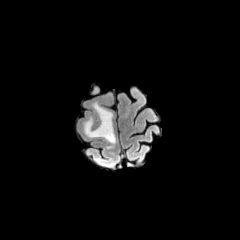
FLAIR magnetic resonance.
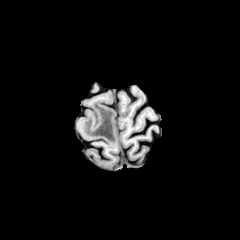
T1-weighted magnetic resonance of the same slice.
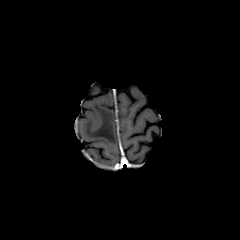
Post-contrast T1-weighted MRI.
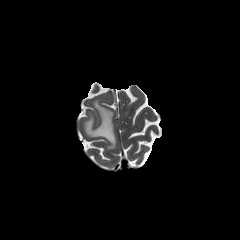
T2-weighted MR image.
240x240.
peritumoral edema at <box>82,101,116,148</box>